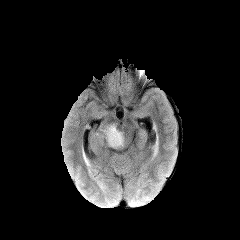
FLAIR MR image.
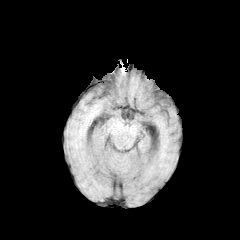
T1-weighted MRI.
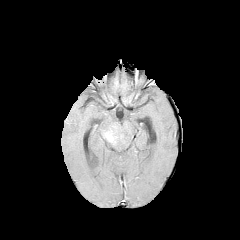
Post-contrast T1-weighted MR image.
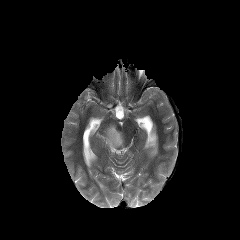
T2-weighted MRI.
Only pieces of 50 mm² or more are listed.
{"peritumoral_edema": ["(x1=102, y1=124, x2=123, y2=148)"], "enhancing_tumor": ["(x1=105, y1=132, x2=116, y2=142)"]}